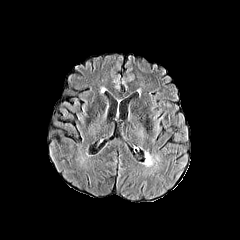
FLAIR MRI.
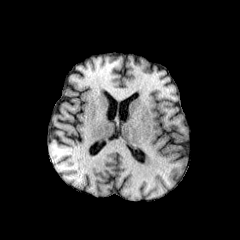
T1-weighted magnetic resonance.
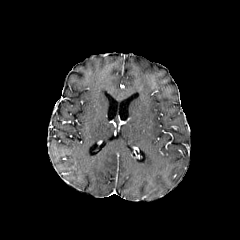
Post-contrast T1-weighted MRI of the same slice.
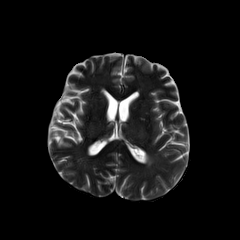
Same slice, T2-weighted magnetic resonance.
peritumoral edema: (x1=143, y1=150, x2=152, y2=166)